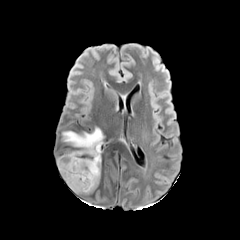
FLAIR MR image.
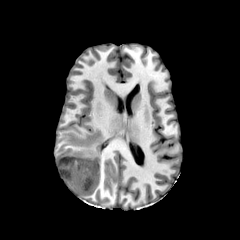
T1-weighted MRI.
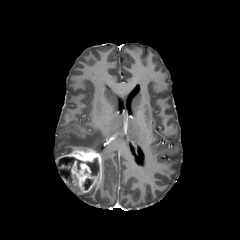
Post-contrast T1-weighted MR.
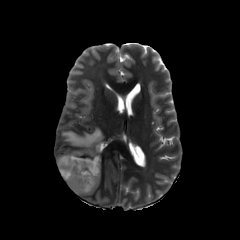
T2-weighted magnetic resonance.
Axial slice | Image size 240x240 | Head
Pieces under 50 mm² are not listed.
The largest enhancing tumor region appears at 56,147,101,193. The 2 largest necrotic tumor core regions are bounded by 57,157,99,186; 83,179,92,189. The largest peritumoral edema region is at 62,127,103,153.